FLAIR MR.
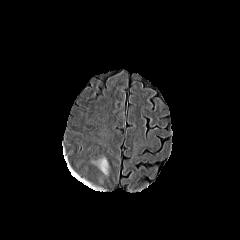
T1-weighted MR.
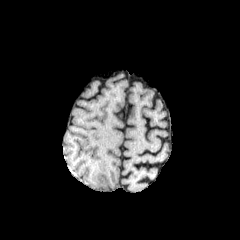
Post-contrast T1-weighted magnetic resonance.
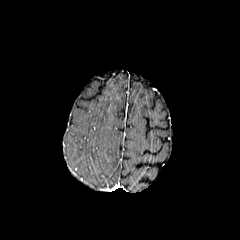
T2-weighted MRI.
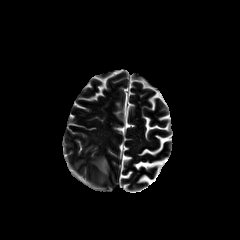
peritumoral edema: rect(96, 157, 108, 174)